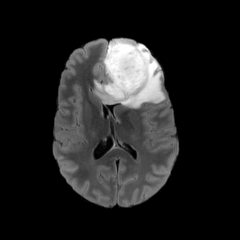
FLAIR MR.
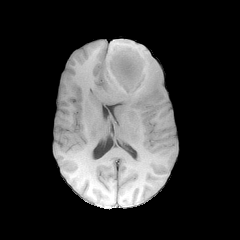
T1-weighted MR image.
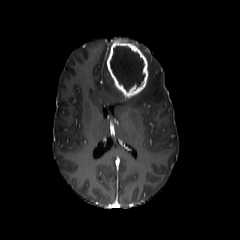
Post-contrast T1-weighted MRI.
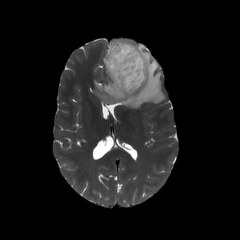
T2-weighted magnetic resonance of the same slice.
Brain.
<segmentation>
  <peritumoral_edema>left=91, top=39, right=165, bottom=108</peritumoral_edema>
  <necrotic_tumor_core>left=110, top=46, right=144, bottom=90</necrotic_tumor_core>
  <enhancing_tumor>left=106, top=39, right=148, bottom=98</enhancing_tumor>
</segmentation>